FLAIR MR image.
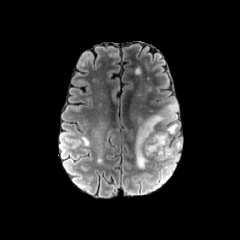
T1-weighted magnetic resonance.
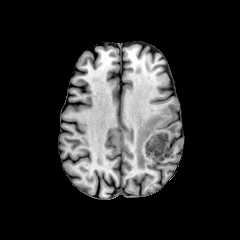
Post-contrast T1-weighted magnetic resonance.
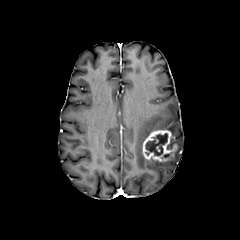
T2-weighted MR image.
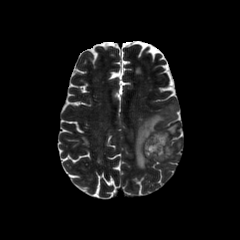
Axial view, Head, Image size 240x240
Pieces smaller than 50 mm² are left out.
necrotic_tumor_core:
  - [145, 133, 167, 155]
enhancing_tumor:
  - [142, 130, 177, 161]
peritumoral_edema:
  - [165, 139, 181, 169]
  - [158, 123, 178, 135]
  - [135, 100, 178, 168]